FLAIR MRI.
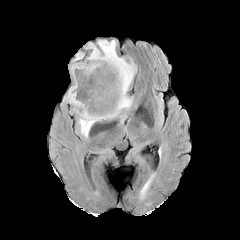
T1-weighted magnetic resonance.
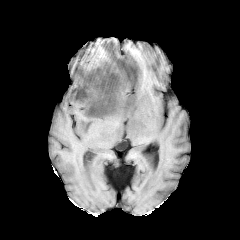
Post-contrast T1-weighted MR image.
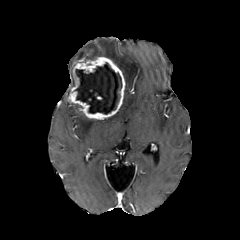
T2-weighted MR image.
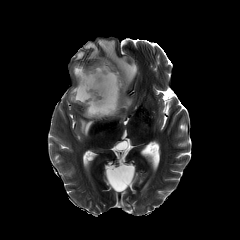
Head.
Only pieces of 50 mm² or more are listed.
Segmented structures:
• enhancing tumor: 67:57:125:119
• necrotic tumor core: 75:63:121:114
• peritumoral edema: 79:112:101:137, 86:40:137:121, 74:52:83:61